Slice index 103
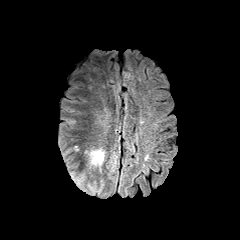
FLAIR MR image.
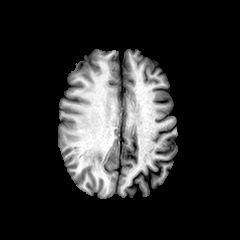
Same slice, T1-weighted MR.
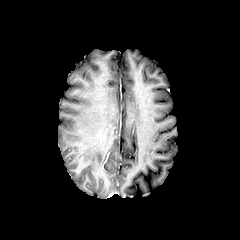
Post-contrast T1-weighted MR.
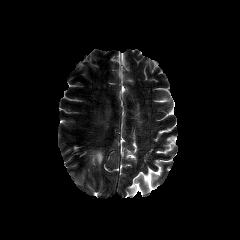
T2-weighted MR of the same slice.
The peritumoral edema lies within left=89, top=149, right=104, bottom=165.